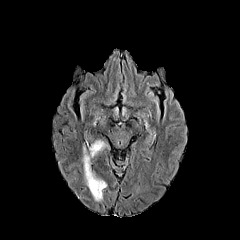
FLAIR MRI.
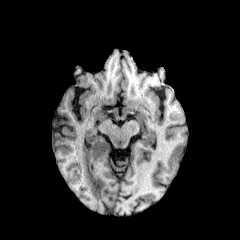
T1-weighted magnetic resonance.
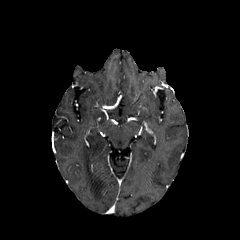
Post-contrast T1-weighted MRI of the same slice.
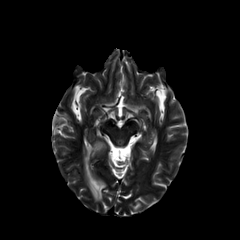
T2-weighted MR.
240x240. Head. Axial view.
The peritumoral edema is located at 83, 138, 110, 201.